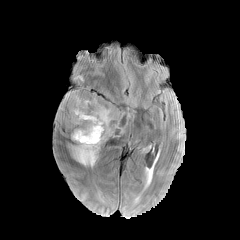
FLAIR MR.
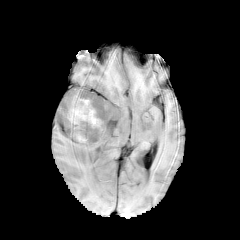
T1-weighted magnetic resonance.
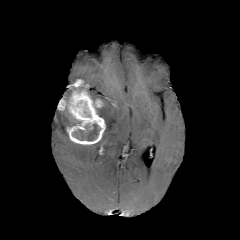
Post-contrast T1-weighted magnetic resonance.
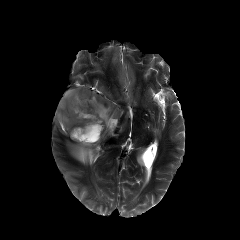
T2-weighted magnetic resonance of the same slice.
240x240 | Head
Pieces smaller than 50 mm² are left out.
enhancing tumor = rect(58, 79, 105, 144)
necrotic tumor core = rect(73, 123, 99, 140); rect(83, 101, 89, 116)
peritumoral edema = rect(71, 104, 114, 166); rect(56, 111, 68, 122); rect(63, 108, 80, 126); rect(62, 85, 73, 100)